FLAIR MRI.
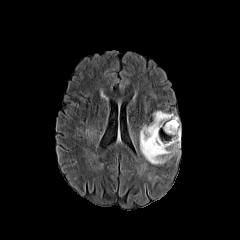
T1-weighted MR.
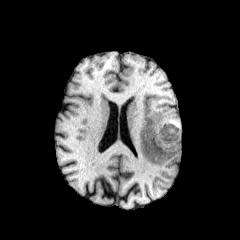
Post-contrast T1-weighted magnetic resonance.
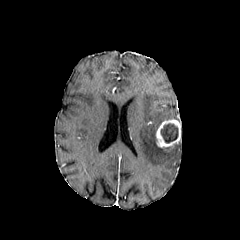
T2-weighted magnetic resonance.
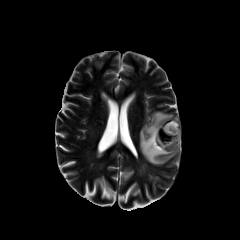
Head
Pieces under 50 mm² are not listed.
The necrotic tumor core is bounded by box=[161, 123, 178, 142]. The enhancing tumor lies within box=[156, 119, 180, 147]. The largest peritumoral edema region is located at box=[139, 111, 180, 164].